240x240 px, Head, Image width 240 mm, 1.00 mm slice spacing
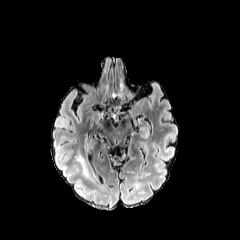
FLAIR MRI.
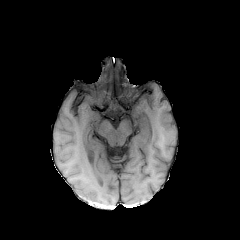
Same slice, T1-weighted MRI.
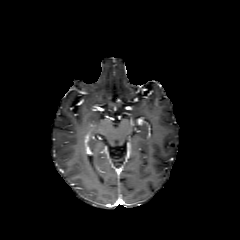
Post-contrast T1-weighted MR.
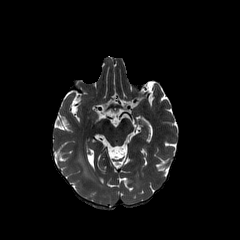
Same slice, T2-weighted MRI.
peritumoral edema: bounding box 77, 154, 88, 176